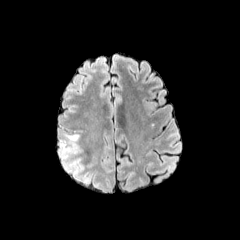
FLAIR MR.
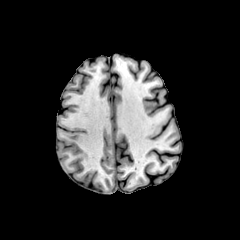
Same slice, T1-weighted magnetic resonance.
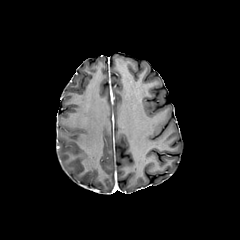
Post-contrast T1-weighted MRI.
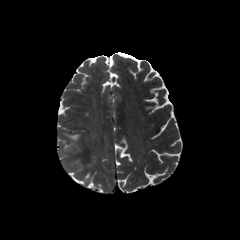
Same slice, T2-weighted MRI.
Head
Annotated regions:
• peritumoral edema: left=58, top=133, right=83, bottom=172